Slice 115 of 155; Image covers 240 mm x 240 mm
FLAIR MRI.
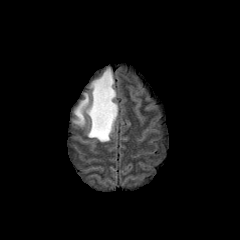
T1-weighted MRI.
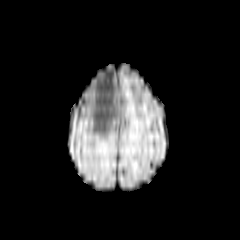
Post-contrast T1-weighted MRI.
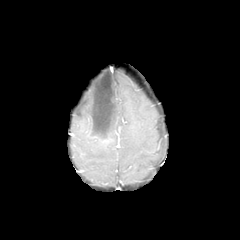
T2-weighted magnetic resonance.
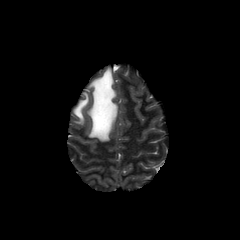
{
  "peritumoral_edema": [
    {"x1": 74, "y1": 68, "x2": 118, "y2": 142}
  ]
}